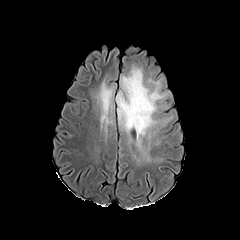
FLAIR magnetic resonance.
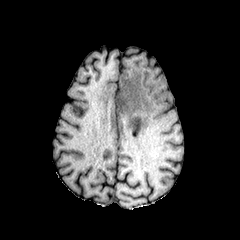
T1-weighted MR of the same slice.
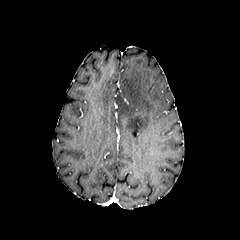
Same slice, post-contrast T1-weighted MR.
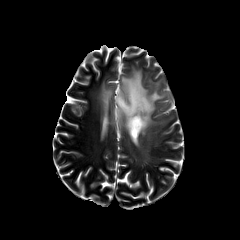
T2-weighted MR image.
Head.
peritumoral edema: (x1=97, y1=82, x2=114, y2=130), (x1=116, y1=66, x2=166, y2=147)